FLAIR magnetic resonance.
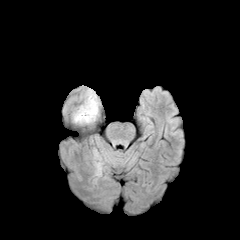
T1-weighted MRI.
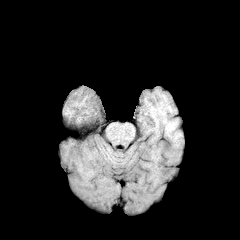
Post-contrast T1-weighted MR image.
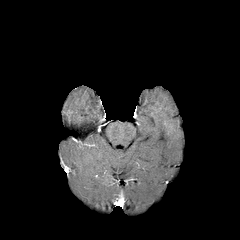
T2-weighted MR image.
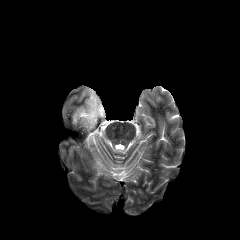
Axial view.
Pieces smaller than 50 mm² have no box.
The 2 largest peritumoral edema regions are located at [74, 89, 100, 124], [93, 148, 103, 175].